FLAIR magnetic resonance.
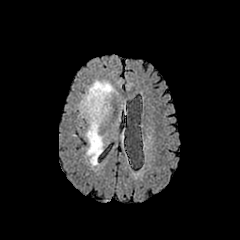
T1-weighted magnetic resonance.
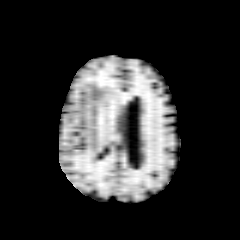
Post-contrast T1-weighted magnetic resonance.
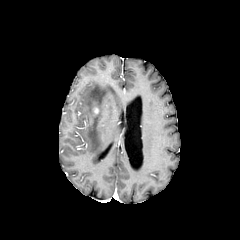
T2-weighted MR.
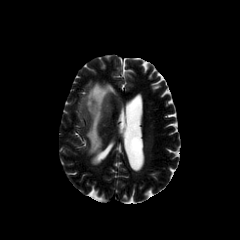
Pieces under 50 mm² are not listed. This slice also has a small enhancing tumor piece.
{
  "peritumoral_edema": [
    "<box>80,81,117,164</box>"
  ]
}